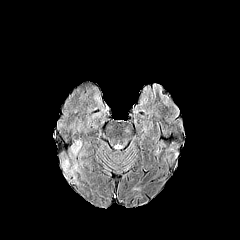
FLAIR MR image.
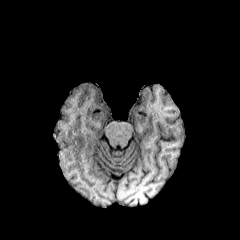
Same slice, T1-weighted magnetic resonance.
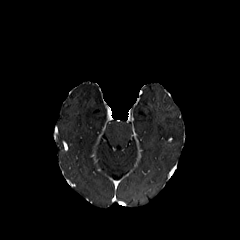
Same slice, post-contrast T1-weighted MR image.
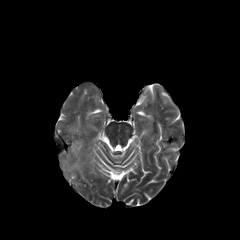
T2-weighted MR of the same slice.
240x240 px, Axial view
Segmented structures:
- peritumoral edema: 59:142:79:174